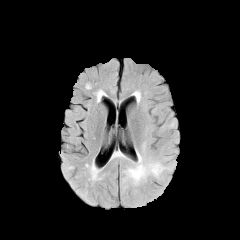
FLAIR MR image.
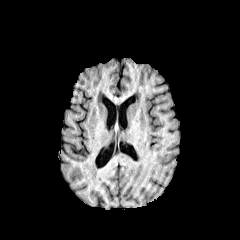
T1-weighted MRI of the same slice.
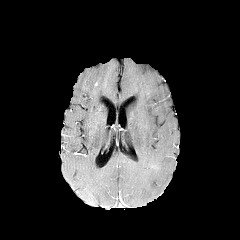
Post-contrast T1-weighted MR.
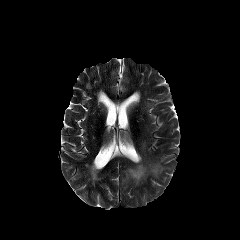
T2-weighted MR.
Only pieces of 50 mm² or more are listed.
The largest peritumoral edema region is at 123:152:168:185.